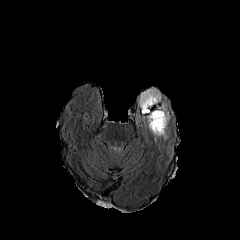
FLAIR MR image.
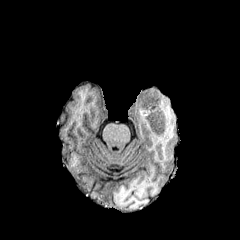
T1-weighted magnetic resonance.
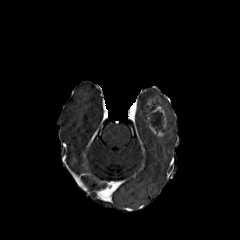
Same slice, post-contrast T1-weighted MR image.
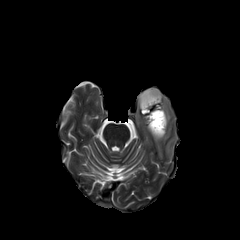
T2-weighted MR image.
Axial view
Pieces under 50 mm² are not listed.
* enhancing tumor: 145, 95, 166, 137
* peritumoral edema: 138, 88, 161, 113; 161, 102, 170, 125
* necrotic tumor core: 149, 111, 163, 131